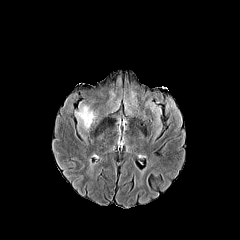
FLAIR magnetic resonance.
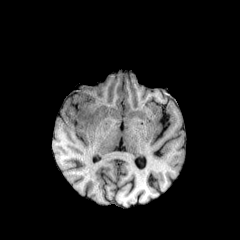
T1-weighted MR image.
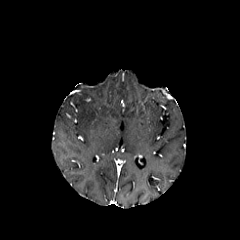
Same slice, post-contrast T1-weighted MR image.
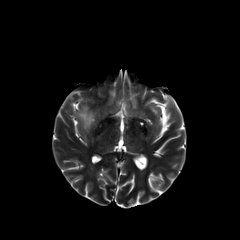
T2-weighted MRI.
Axial view. Head.
Annotated regions:
- peritumoral edema: (x1=76, y1=105, x2=95, y2=129)